FLAIR MR.
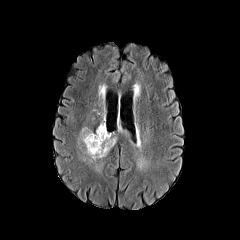
T1-weighted MRI.
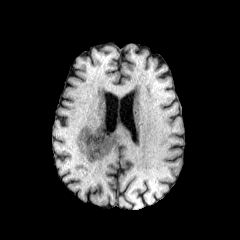
Post-contrast T1-weighted MR image.
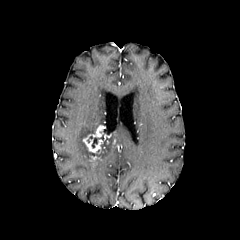
T2-weighted MRI.
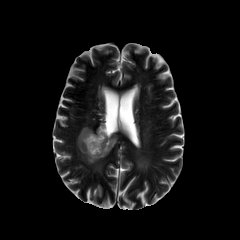
Brain. Axial slice.
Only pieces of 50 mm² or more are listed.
necrotic tumor core: bounding box region(91, 135, 103, 148)
enhancing tumor: bounding box region(83, 125, 110, 153)
peritumoral edema: bounding box region(120, 128, 136, 146); region(86, 134, 117, 159); region(80, 126, 92, 139)